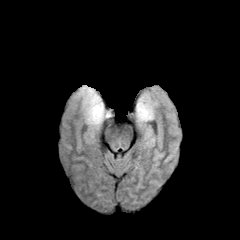
FLAIR MR image.
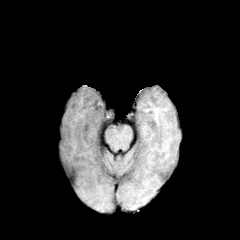
T1-weighted MR image.
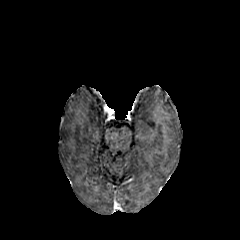
Post-contrast T1-weighted MR.
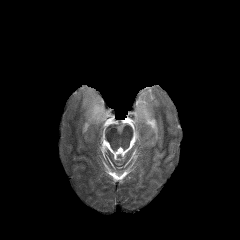
T2-weighted magnetic resonance of the same slice.
240x240, Head, Axial slice
peritumoral edema: 136,95,154,126; 78,86,109,136